FLAIR MRI.
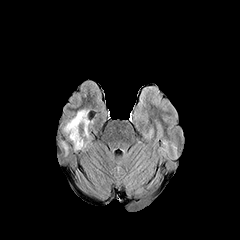
T1-weighted magnetic resonance.
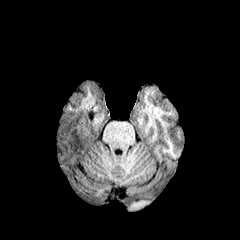
Post-contrast T1-weighted magnetic resonance.
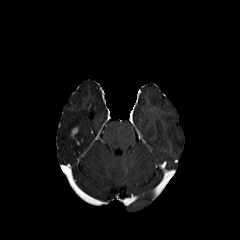
T2-weighted magnetic resonance.
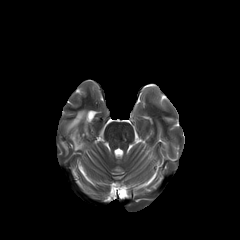
240x240 px, Head
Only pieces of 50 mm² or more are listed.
enhancing tumor — left=71, top=127, right=79, bottom=144
peritumoral edema — left=64, top=110, right=92, bottom=150; left=61, top=141, right=67, bottom=155